240x240, Head
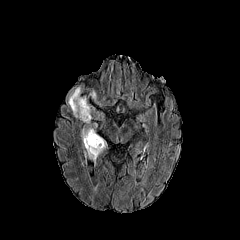
FLAIR MR.
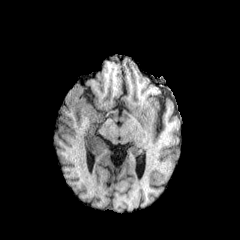
T1-weighted MRI.
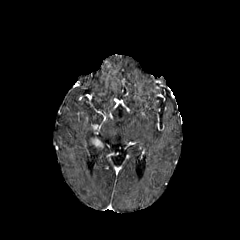
Post-contrast T1-weighted MR image of the same slice.
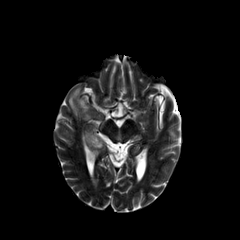
Same slice, T2-weighted MR.
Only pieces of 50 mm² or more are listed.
Annotated regions:
* peritumoral edema: region(66, 86, 106, 159)
* enhancing tumor: region(85, 136, 103, 148)